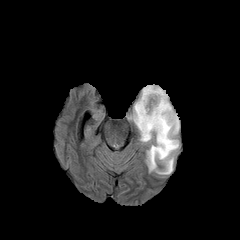
FLAIR magnetic resonance.
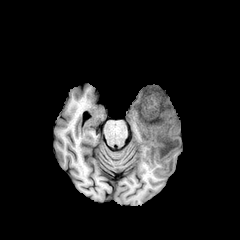
T1-weighted MR image of the same slice.
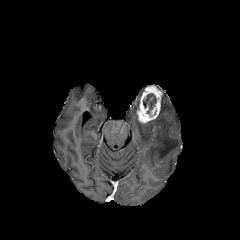
Post-contrast T1-weighted MRI.
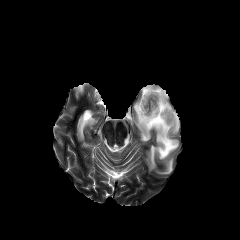
Same slice, T2-weighted MRI.
Head; 240x240
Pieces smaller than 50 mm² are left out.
necrotic tumor core: left=143, top=94, right=156, bottom=113 | peritumoral edema: left=128, top=92, right=179, bottom=174 | enhancing tumor: left=136, top=85, right=163, bottom=123